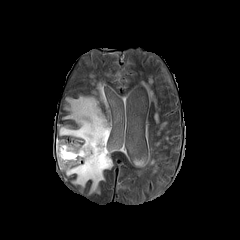
FLAIR MR image.
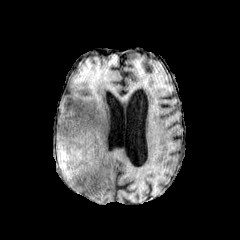
T1-weighted MR image.
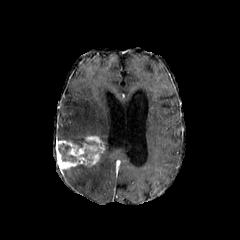
Post-contrast T1-weighted MR of the same slice.
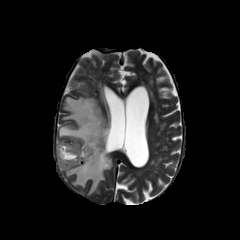
T2-weighted magnetic resonance.
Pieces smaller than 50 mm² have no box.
necrotic tumor core = (x1=58, y1=143, x2=76, y2=161)
peritumoral edema = (x1=100, y1=87, x2=106, y2=103), (x1=59, y1=96, x2=112, y2=193)
enhancing tumor = (x1=56, y1=135, x2=104, y2=172)